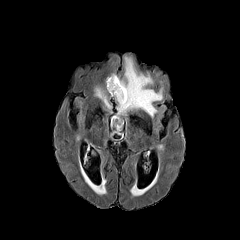
FLAIR MR image.
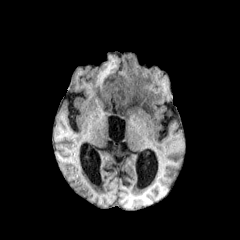
T1-weighted MRI of the same slice.
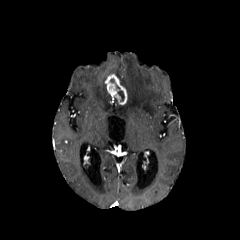
Post-contrast T1-weighted MR.
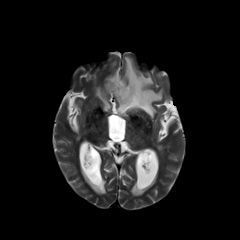
T2-weighted MR of the same slice.
Brain
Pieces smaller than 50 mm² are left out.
The enhancing tumor is at (105, 74, 127, 104). 3 peritumoral edema regions are located at (94, 86, 111, 110), (89, 183, 105, 195), (117, 56, 162, 117). The largest necrotic tumor core region appears at (117, 90, 124, 101).